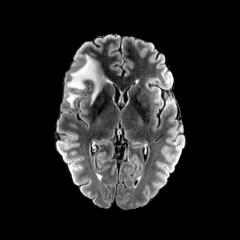
FLAIR magnetic resonance.
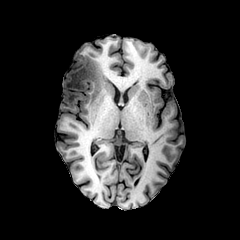
T1-weighted magnetic resonance of the same slice.
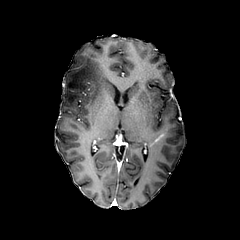
Post-contrast T1-weighted magnetic resonance.
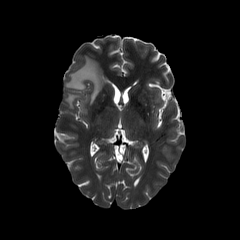
T2-weighted MRI.
Head. Image size 240x240.
peritumoral edema: (66, 55, 104, 103), (66, 92, 79, 107)